FLAIR magnetic resonance.
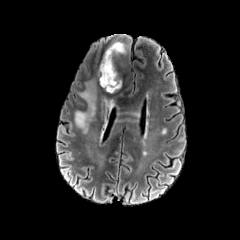
T1-weighted MRI.
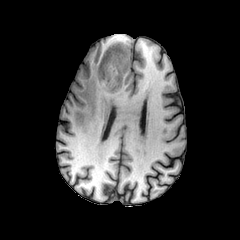
Post-contrast T1-weighted magnetic resonance.
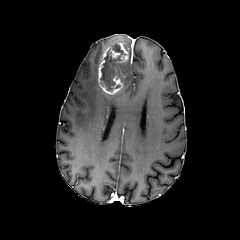
T2-weighted MR.
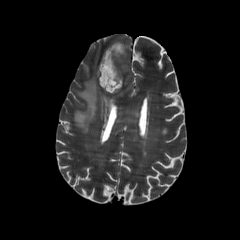
Brain
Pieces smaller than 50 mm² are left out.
The 3 largest peritumoral edema regions are located at 101:95:114:125, 118:63:123:77, 74:81:97:133. The enhancing tumor lies within 98:42:128:94. The 2 largest necrotic tumor core regions appear at 100:54:116:90, 113:45:123:54.